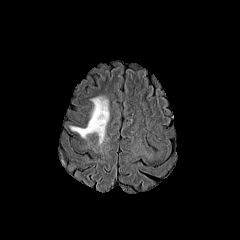
FLAIR MR.
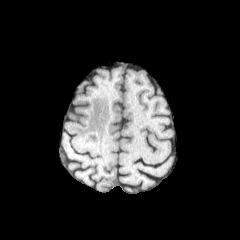
T1-weighted MRI.
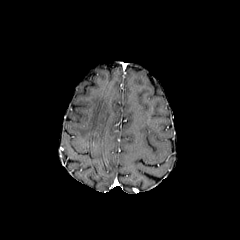
Post-contrast T1-weighted MR of the same slice.
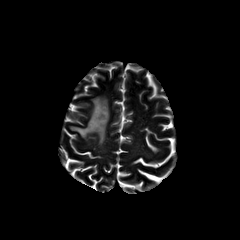
Same slice, T2-weighted MR image.
Image size 240x240 | Axial plane
{"peritumoral_edema": ["box=[70, 97, 109, 144]"]}